Image width 240 mm
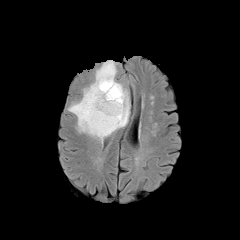
FLAIR MR image.
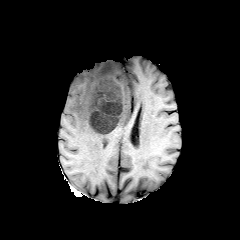
Same slice, T1-weighted MRI.
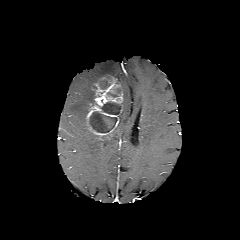
Post-contrast T1-weighted MR of the same slice.
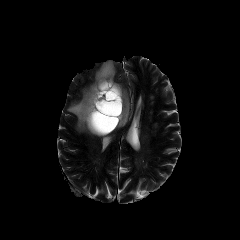
T2-weighted MRI.
Segmented structures:
• necrotic tumor core: (left=107, top=88, right=121, bottom=97), (left=99, top=79, right=111, bottom=89), (left=100, top=102, right=121, bottom=114), (left=89, top=112, right=117, bottom=132)
• peritumoral edema: (left=67, top=60, right=130, bottom=143)
• enhancing tumor: (left=86, top=77, right=122, bottom=135)